Slice index 79
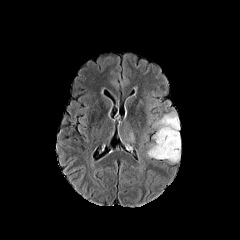
FLAIR MRI.
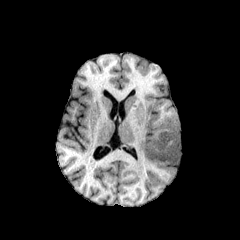
T1-weighted MR of the same slice.
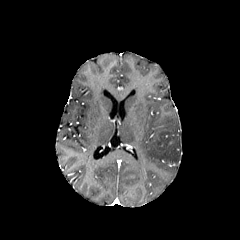
Same slice, post-contrast T1-weighted MR image.
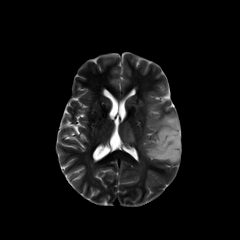
Same slice, T2-weighted magnetic resonance.
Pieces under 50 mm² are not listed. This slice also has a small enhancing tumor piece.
peritumoral edema at rect(123, 130, 134, 142); rect(147, 112, 180, 162)